Slice index 38, Image covers 240 mm x 240 mm
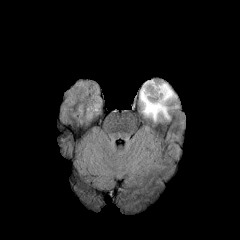
FLAIR MRI.
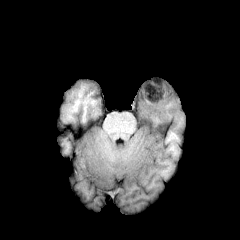
T1-weighted MR of the same slice.
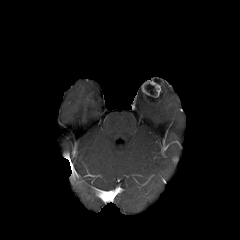
Post-contrast T1-weighted magnetic resonance.
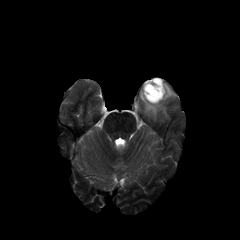
T2-weighted MR.
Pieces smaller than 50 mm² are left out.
necrotic tumor core at <box>146,92,162,101</box>, <box>145,84,155,95</box>
enhancing tumor at <box>141,79,165,103</box>
peritumoral edema at <box>139,83,178,121</box>